Brain. Slice 43 of 155.
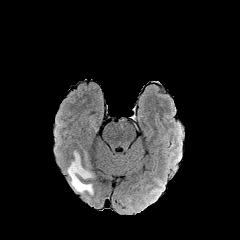
FLAIR MR image.
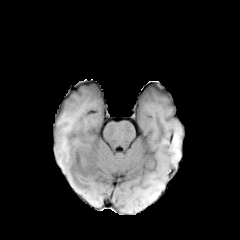
T1-weighted MR of the same slice.
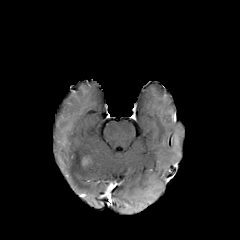
Post-contrast T1-weighted magnetic resonance.
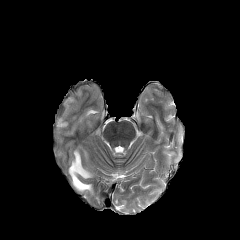
Same slice, T2-weighted MRI.
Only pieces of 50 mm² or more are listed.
<segmentation>
  <peritumoral_edema>l=68, t=151, r=93, b=194</peritumoral_edema>
</segmentation>